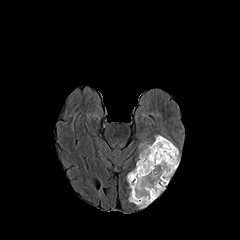
FLAIR MR.
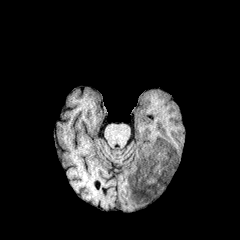
Same slice, T1-weighted MR image.
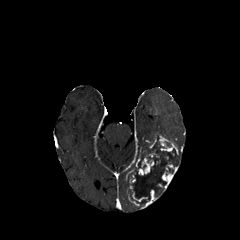
Post-contrast T1-weighted MRI.
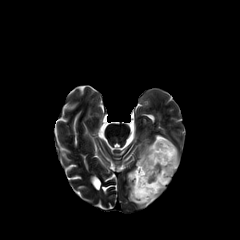
T2-weighted MR image.
240x240 px | Brain
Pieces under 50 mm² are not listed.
peritumoral edema: (139, 142, 150, 155) | necrotic tumor core: (128, 136, 178, 207) | enhancing tumor: (140, 190, 158, 208), (158, 162, 178, 190), (128, 173, 135, 191), (159, 135, 178, 154), (138, 151, 159, 175), (128, 192, 147, 206)